FLAIR MRI.
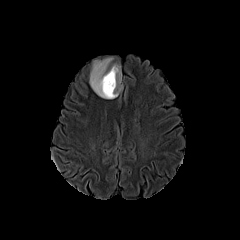
T1-weighted magnetic resonance.
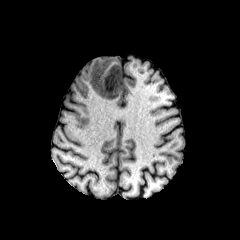
Post-contrast T1-weighted MRI.
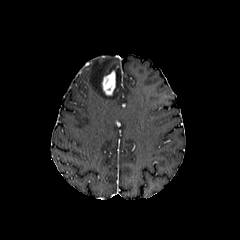
T2-weighted MR.
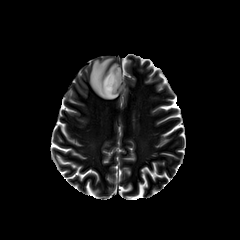
peritumoral edema: 89,58,122,99
enhancing tumor: 102,70,115,95